FLAIR MR image.
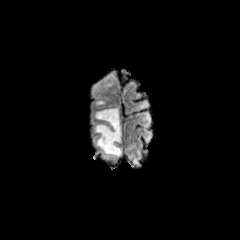
T1-weighted MRI.
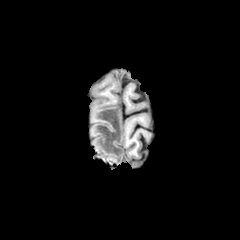
Post-contrast T1-weighted MR image.
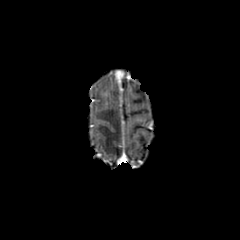
T2-weighted MRI.
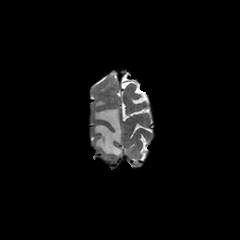
Axial view
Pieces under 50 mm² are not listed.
Segmented structures:
* peritumoral edema: x1=93 y1=107 x2=121 y2=158